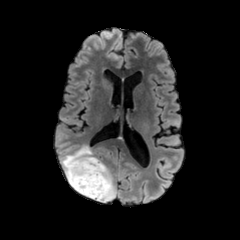
FLAIR MR.
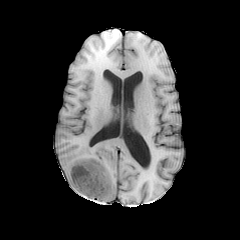
T1-weighted MR image.
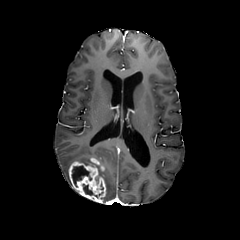
Post-contrast T1-weighted MRI.
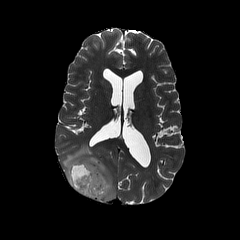
Same slice, T2-weighted MR image.
240x240
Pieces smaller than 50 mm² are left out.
{
  "peritumoral_edema": [
    "(62, 145, 116, 202)"
  ],
  "necrotic_tumor_core": [
    "(83, 184, 97, 197)",
    "(72, 166, 91, 187)"
  ],
  "enhancing_tumor": [
    "(69, 157, 106, 202)"
  ]
}